Head; Slice 72 of 155
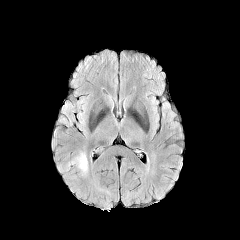
FLAIR MR image.
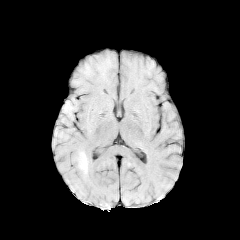
Same slice, T1-weighted MRI.
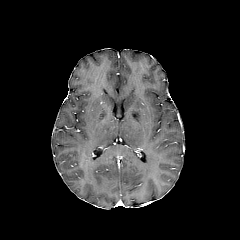
Post-contrast T1-weighted magnetic resonance of the same slice.
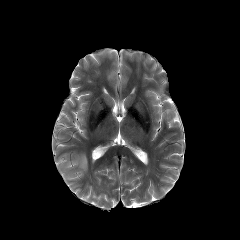
T2-weighted MR of the same slice.
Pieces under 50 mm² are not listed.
peritumoral_edema:
  - [x1=62, y1=152, x2=88, y2=176]